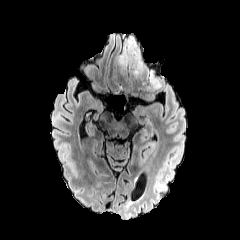
FLAIR MR.
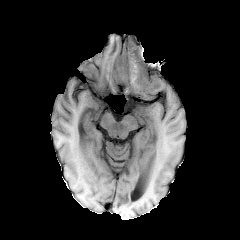
Same slice, T1-weighted MR.
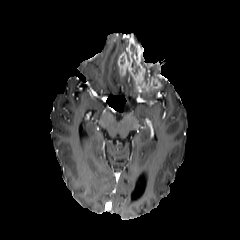
Post-contrast T1-weighted magnetic resonance of the same slice.
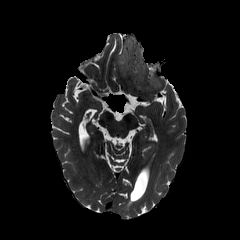
T2-weighted MR of the same slice.
Axial plane. Head.
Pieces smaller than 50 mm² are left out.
The largest peritumoral edema region appears at <box>142,57,154,86</box>. The largest enhancing tumor region appears at <box>118,33,160,90</box>. The largest necrotic tumor core region lies within <box>131,53,139,77</box>.